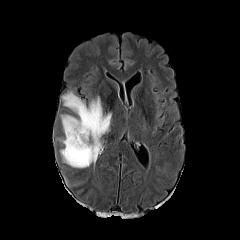
FLAIR MR image.
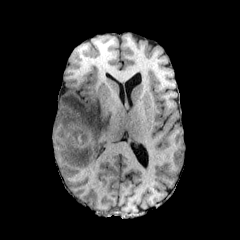
T1-weighted MRI of the same slice.
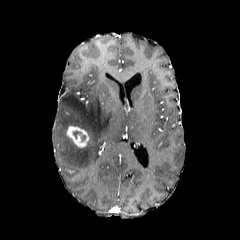
Post-contrast T1-weighted MR.
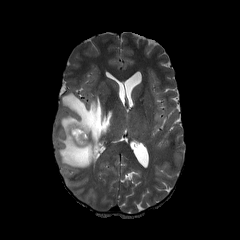
T2-weighted MRI.
Image size 240x240, Head, Axial slice
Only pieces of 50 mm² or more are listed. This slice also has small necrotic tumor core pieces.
The enhancing tumor is located at 66 126 89 148. The peritumoral edema appears at 59 91 111 168.